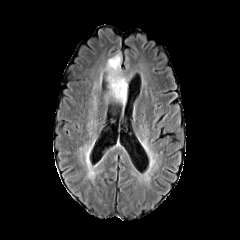
FLAIR magnetic resonance.
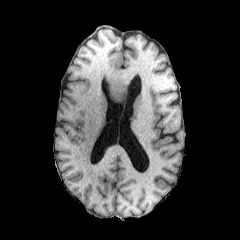
Same slice, T1-weighted MR.
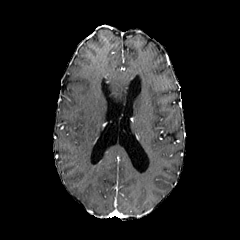
Same slice, post-contrast T1-weighted MR.
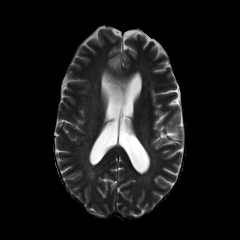
T2-weighted MRI.
Head; 240x240
<segmentation>
  <peritumoral_edema>box=[107, 54, 127, 102]</peritumoral_edema>
</segmentation>